Slice index 91. 240x240. Head.
FLAIR magnetic resonance.
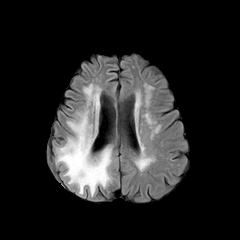
T1-weighted magnetic resonance.
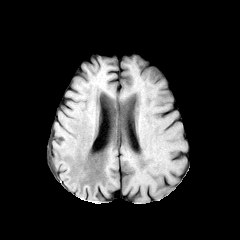
Post-contrast T1-weighted MRI.
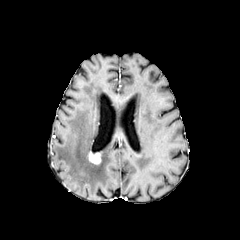
T2-weighted MRI.
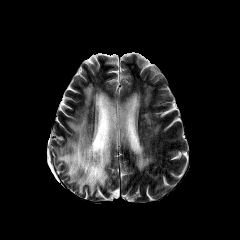
The enhancing tumor appears at (88,151,101,164). The peritumoral edema is at (56,84,111,194).